FLAIR MR.
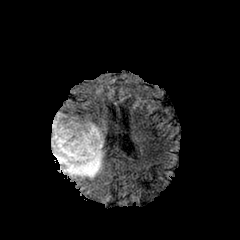
T1-weighted MR.
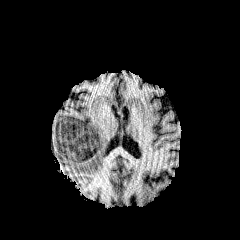
Post-contrast T1-weighted MR.
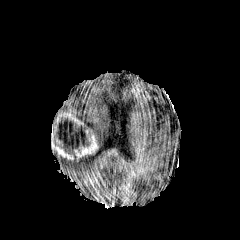
T2-weighted MR.
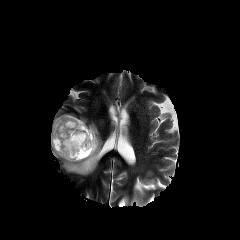
Brain
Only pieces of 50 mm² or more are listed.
The largest necrotic tumor core region is located at 54, 120, 89, 157. The largest peritumoral edema region is at 52, 121, 104, 178. The enhancing tumor is at 51, 113, 98, 161.